Axial view | 240x240 px
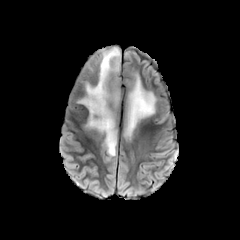
FLAIR magnetic resonance.
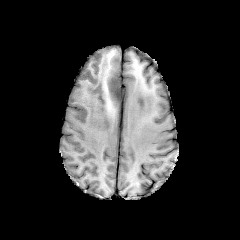
T1-weighted MR image.
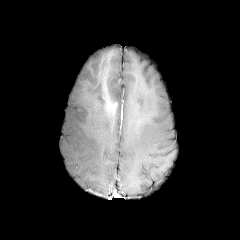
Same slice, post-contrast T1-weighted magnetic resonance.
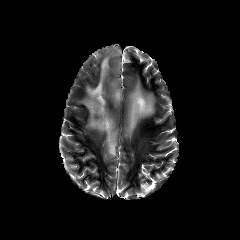
T2-weighted MR image.
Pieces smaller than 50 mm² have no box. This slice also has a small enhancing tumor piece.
{
  "peritumoral_edema": [
    "rect(124, 73, 156, 142)",
    "rect(78, 47, 120, 160)"
  ]
}